FLAIR magnetic resonance.
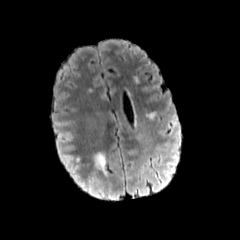
T1-weighted MRI.
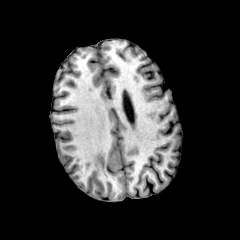
Post-contrast T1-weighted MR image.
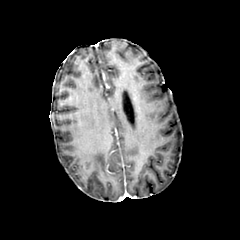
T2-weighted magnetic resonance.
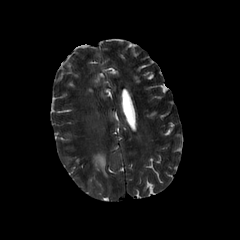
240x240, Axial slice
Findings:
• peritumoral edema: x1=93, y1=152, x2=106, y2=175